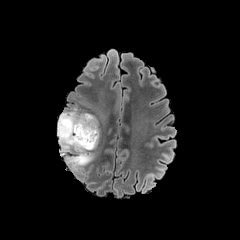
FLAIR magnetic resonance.
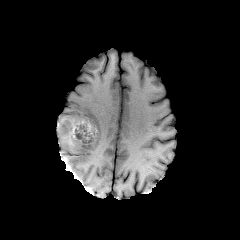
T1-weighted MRI.
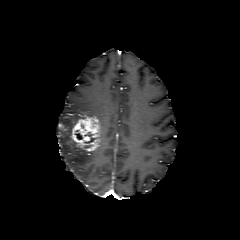
Post-contrast T1-weighted magnetic resonance.
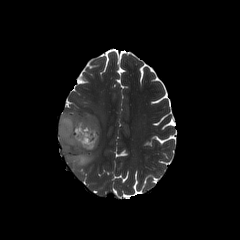
T2-weighted magnetic resonance of the same slice.
240x240 px
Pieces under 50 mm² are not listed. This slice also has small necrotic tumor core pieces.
The largest enhancing tumor region is at 70,115,100,151. The peritumoral edema is located at 58,111,94,170.